Slice index 103; 240x240
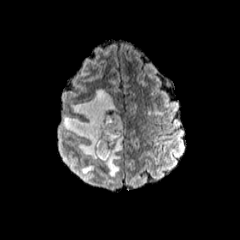
FLAIR MR.
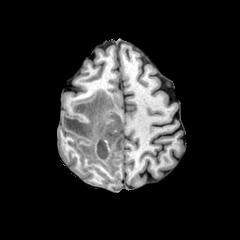
T1-weighted MR image.
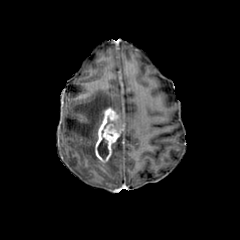
Post-contrast T1-weighted magnetic resonance.
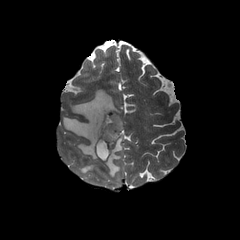
T2-weighted MR of the same slice.
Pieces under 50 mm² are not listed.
The 2 largest necrotic tumor core regions appear at <bbox>104, 114, 119, 132</bbox>, <bbox>97, 130, 108, 159</bbox>. The enhancing tumor appears at <bbox>94, 107, 123, 162</bbox>. The 3 largest peritumoral edema regions appear at <bbox>81, 165, 94, 179</bbox>, <bbox>102, 133, 122, 177</bbox>, <bbox>63, 89, 118, 162</bbox>.